FLAIR MRI.
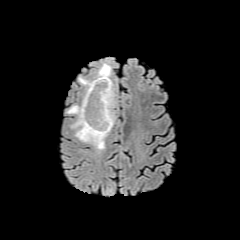
T1-weighted MR.
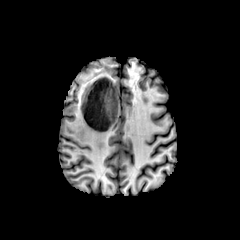
Post-contrast T1-weighted MRI.
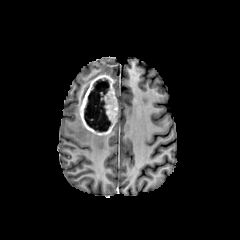
T2-weighted MRI.
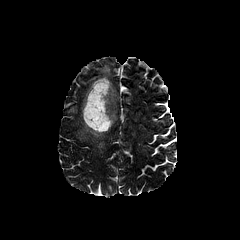
Head; 240x240
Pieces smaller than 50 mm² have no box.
peritumoral edema = (x1=79, y1=62, x2=111, y2=91), (x1=66, y1=105, x2=107, y2=151)
necrotic tumor core = (x1=84, y1=78, x2=111, y2=132)
enhancing tumor = (x1=79, y1=75, x2=117, y2=135)